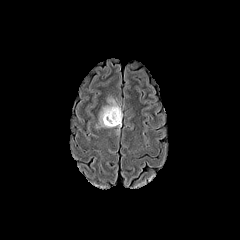
FLAIR MRI.
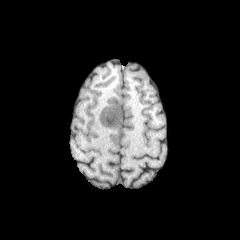
T1-weighted MR.
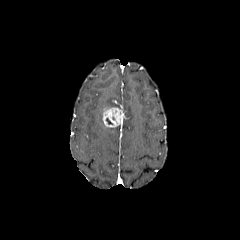
Post-contrast T1-weighted MRI.
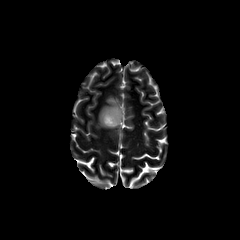
Same slice, T2-weighted MR image.
Brain. 240x240.
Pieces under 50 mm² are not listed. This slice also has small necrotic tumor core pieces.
peritumoral edema = x1=96 y1=97 x2=119 y2=127
enhancing tumor = x1=102 y1=107 x2=123 y2=127